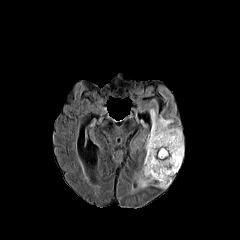
FLAIR MR image.
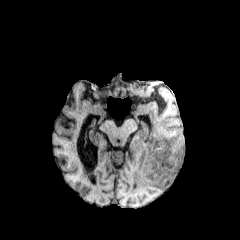
T1-weighted MR of the same slice.
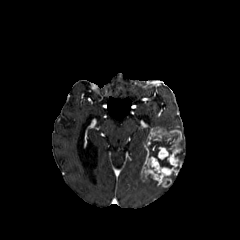
Same slice, post-contrast T1-weighted magnetic resonance.
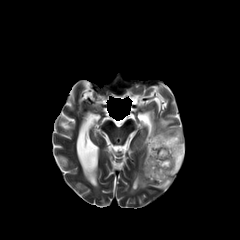
T2-weighted MR image of the same slice.
Axial slice
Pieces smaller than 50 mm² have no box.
The largest necrotic tumor core region appears at 148 135 177 168. The 3 largest peritumoral edema regions are located at 150 109 181 131, 138 172 153 188, 175 138 184 160. The largest enhancing tumor region is bounded by 141 126 182 187.